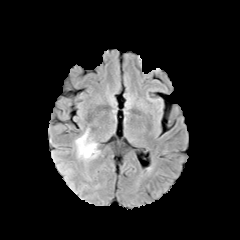
FLAIR MRI.
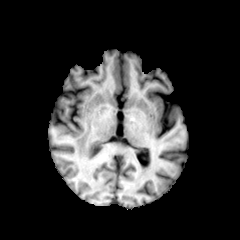
T1-weighted MR image of the same slice.
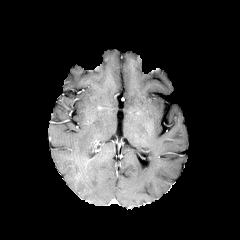
Post-contrast T1-weighted magnetic resonance.
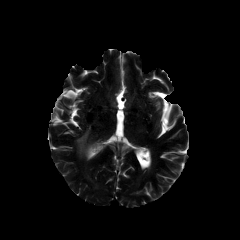
T2-weighted magnetic resonance of the same slice.
Axial plane | Head
The peritumoral edema is located at bbox(75, 129, 97, 158).